FLAIR MR image.
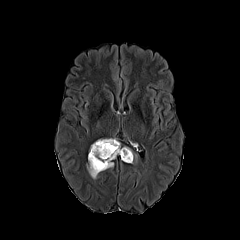
T1-weighted MR image.
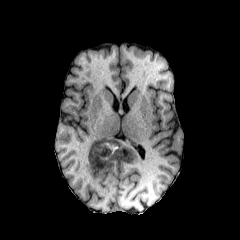
Post-contrast T1-weighted MRI.
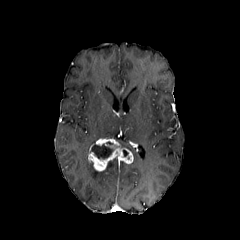
T2-weighted magnetic resonance.
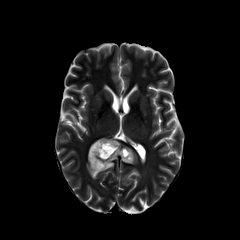
Head | Axial slice
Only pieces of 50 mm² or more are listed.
necrotic_tumor_core:
  - bbox(91, 142, 114, 158)
peritumoral_edema:
  - bbox(86, 161, 99, 179)
enhancing_tumor:
  - bbox(88, 138, 133, 171)